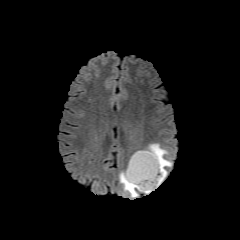
FLAIR magnetic resonance.
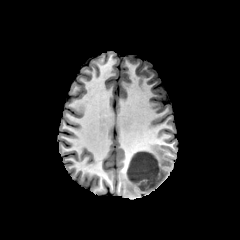
T1-weighted MR of the same slice.
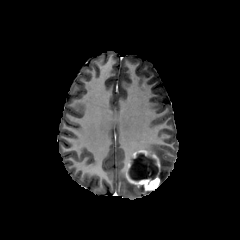
Post-contrast T1-weighted MR.
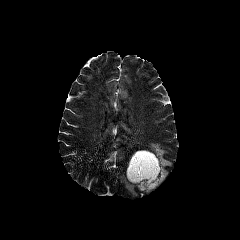
T2-weighted magnetic resonance.
Axial view
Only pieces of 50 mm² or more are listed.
enhancing tumor: (left=126, top=150, right=160, bottom=191) | necrotic tumor core: (left=128, top=153, right=158, bottom=180) | peritumoral edema: (left=119, top=170, right=151, bottom=197), (left=145, top=143, right=172, bottom=183)